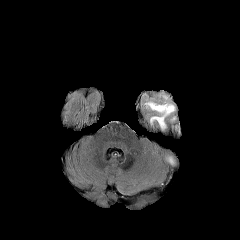
FLAIR magnetic resonance.
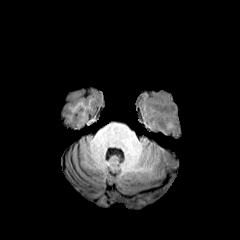
T1-weighted MR image.
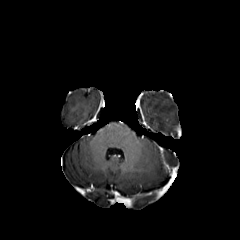
Same slice, post-contrast T1-weighted MR.
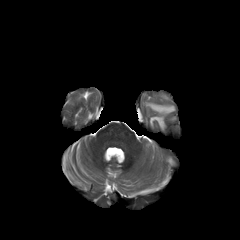
T2-weighted MR of the same slice.
Brain | Axial slice
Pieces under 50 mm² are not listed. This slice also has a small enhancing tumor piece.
peritumoral edema: {"x1": 147, "y1": 103, "x2": 174, "y2": 114}, {"x1": 151, "y1": 116, "x2": 164, "y2": 127}